240x240 px. Brain. Slice 71 of 155.
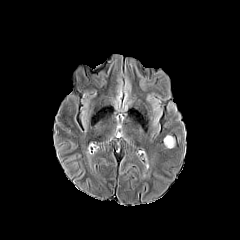
FLAIR MR image.
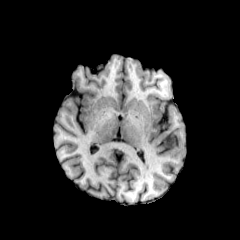
T1-weighted MRI.
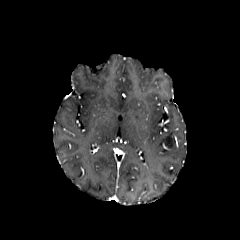
Post-contrast T1-weighted magnetic resonance of the same slice.
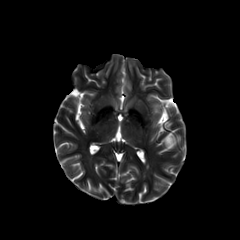
Same slice, T2-weighted magnetic resonance.
peritumoral edema: region(164, 136, 174, 148)